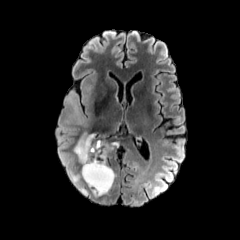
FLAIR MRI.
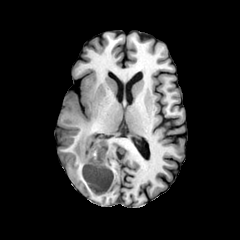
T1-weighted MRI.
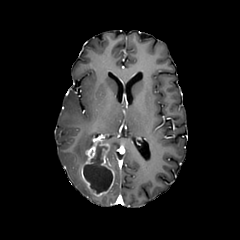
Same slice, post-contrast T1-weighted magnetic resonance.
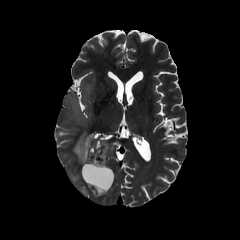
T2-weighted MR image of the same slice.
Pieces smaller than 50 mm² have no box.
The necrotic tumor core is bounded by box(83, 142, 112, 193). The 2 largest peritumoral edema regions are located at box(73, 132, 95, 164); box(65, 79, 94, 126). The enhancing tumor appears at box(81, 138, 114, 196).